Image size 240x240. Axial slice. Image covers 240 mm x 240 mm. Head. Slice 36 of 155.
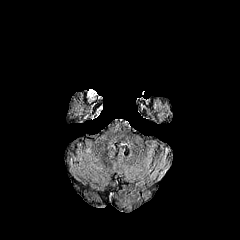
FLAIR MR image.
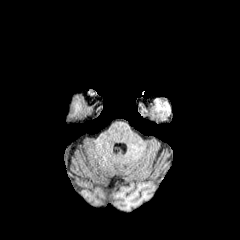
T1-weighted MR image of the same slice.
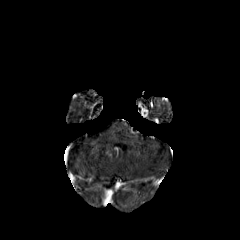
Post-contrast T1-weighted magnetic resonance.
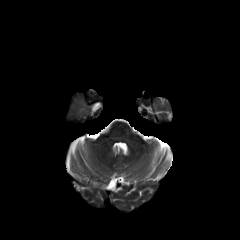
Same slice, T2-weighted magnetic resonance.
peritumoral edema: bounding box bbox(72, 101, 88, 111)